Axial slice, Image size 240x240, Head, Image width 240 mm, 1.00 mm slice spacing
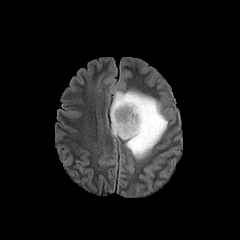
FLAIR MR.
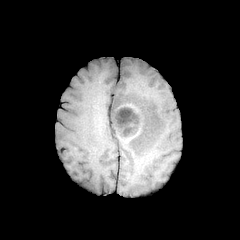
T1-weighted magnetic resonance.
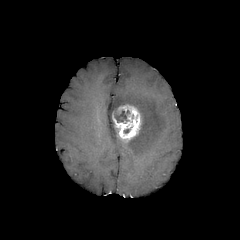
Post-contrast T1-weighted MR of the same slice.
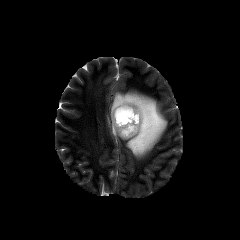
Same slice, T2-weighted MRI.
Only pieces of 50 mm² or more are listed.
peritumoral_edema:
  - [110,90,167,158]
necrotic_tumor_core:
  - [115,111,127,122]
enhancing_tumor:
  - [112,104,141,140]